Slice 65 of 155; Brain
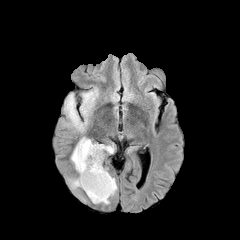
FLAIR MRI.
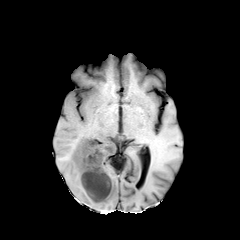
T1-weighted MR.
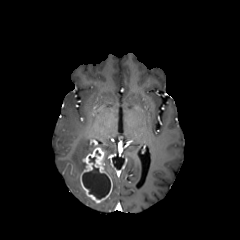
Post-contrast T1-weighted MR image.
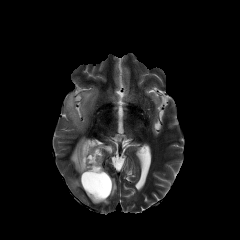
T2-weighted MR image.
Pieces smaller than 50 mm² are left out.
peritumoral_edema:
  - bbox=[64, 90, 97, 131]
  - bbox=[71, 137, 114, 174]
  - bbox=[110, 177, 116, 196]
  - bbox=[69, 176, 81, 189]
necrotic_tumor_core:
  - bbox=[82, 165, 110, 198]
enhancing_tumor:
  - bbox=[80, 147, 112, 203]